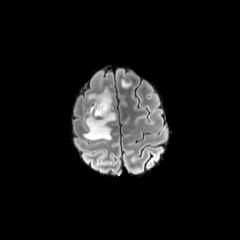
FLAIR MR image.
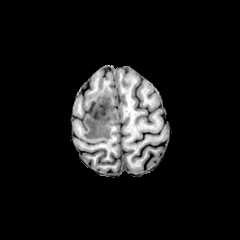
Same slice, T1-weighted MRI.
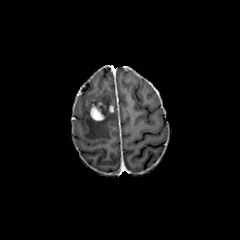
Same slice, post-contrast T1-weighted magnetic resonance.
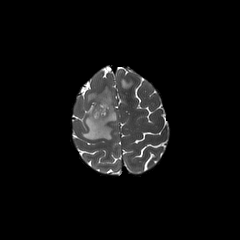
T2-weighted magnetic resonance.
Axial plane | Brain
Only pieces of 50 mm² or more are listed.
The largest enhancing tumor region is bounded by (x1=90, y1=102, x2=107, y2=121). 2 peritumoral edema regions appear at (x1=120, y1=76, x2=135, y2=88), (x1=83, y1=86, x2=116, y2=140).